FLAIR MRI.
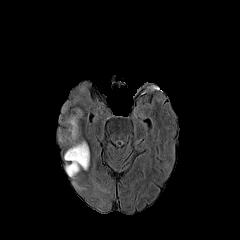
T1-weighted MR image.
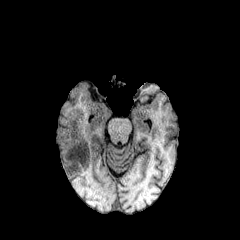
Post-contrast T1-weighted magnetic resonance.
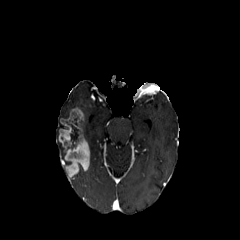
T2-weighted magnetic resonance.
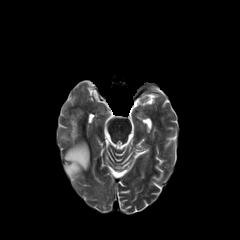
Axial plane
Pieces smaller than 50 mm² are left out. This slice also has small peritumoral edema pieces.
* enhancing tumor: bbox(58, 108, 89, 177)
* necrotic tumor core: bbox(66, 121, 80, 148)